FLAIR MR.
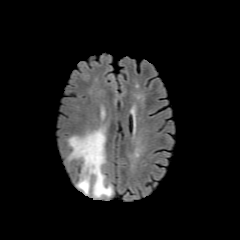
T1-weighted magnetic resonance.
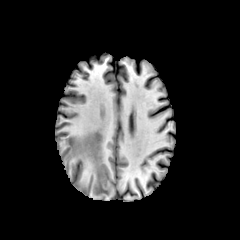
Post-contrast T1-weighted MRI.
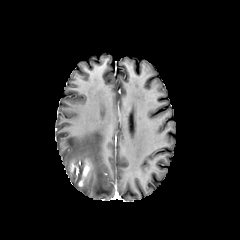
T2-weighted magnetic resonance.
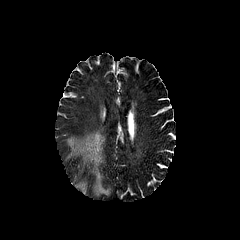
Axial plane.
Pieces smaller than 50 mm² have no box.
The peritumoral edema appears at (x1=68, y1=128, x2=112, y2=197). The largest enhancing tumor region is at (x1=83, y1=163, x2=89, y2=176).